240x240, Head, Image width 240 mm, 1.00 mm slice spacing
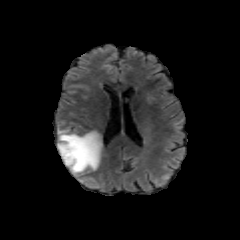
FLAIR MR image.
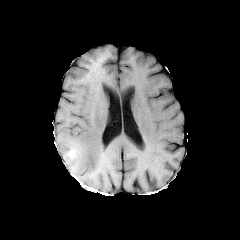
T1-weighted magnetic resonance.
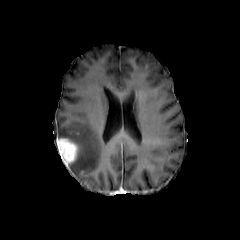
Same slice, post-contrast T1-weighted MR.
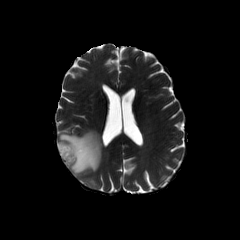
T2-weighted MR of the same slice.
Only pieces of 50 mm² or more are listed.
Findings:
* peritumoral edema: x1=57 y1=126 x2=102 y2=177
* enhancing tumor: x1=58 y1=138 x2=78 y2=167